FLAIR MRI.
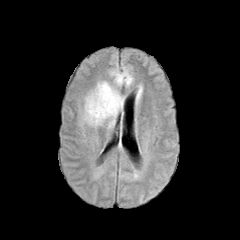
T1-weighted MR.
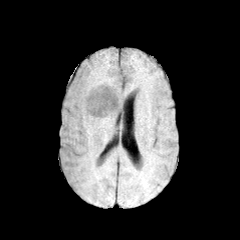
Post-contrast T1-weighted MRI.
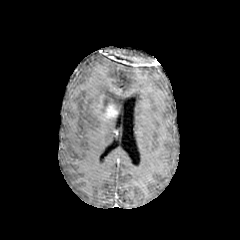
T2-weighted MR image.
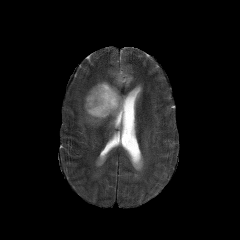
Head; Axial slice
enhancing tumor: x1=91 y1=93 x2=117 y2=118
peritumoral edema: x1=82 y1=67 x2=133 y2=128
necrotic tumor core: x1=101 y1=98 x2=111 y2=112